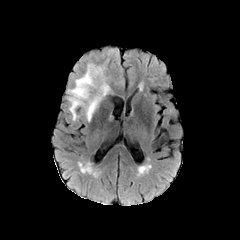
FLAIR MR image.
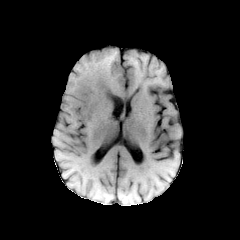
Same slice, T1-weighted MR image.
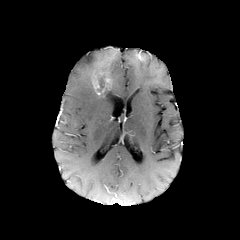
Post-contrast T1-weighted magnetic resonance.
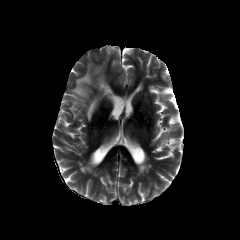
Same slice, T2-weighted MR image.
Brain. 240x240 px.
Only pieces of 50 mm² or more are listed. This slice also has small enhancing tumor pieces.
The peritumoral edema is at rect(68, 64, 110, 121).